Slice index 78 | Head
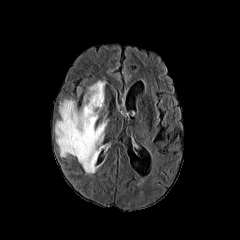
FLAIR magnetic resonance.
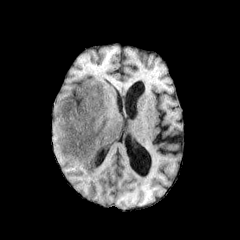
T1-weighted magnetic resonance.
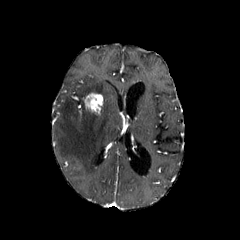
Post-contrast T1-weighted MR.
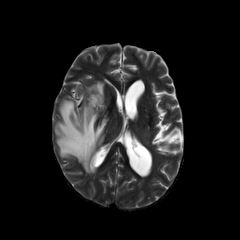
T2-weighted MRI.
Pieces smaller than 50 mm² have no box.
<segmentation>
  <peritumoral_edema>x1=55 y1=99 x2=108 y2=173, x1=84 y1=80 x2=105 y2=98</peritumoral_edema>
  <enhancing_tumor>x1=84 y1=92 x2=103 y2=114</enhancing_tumor>
</segmentation>